FLAIR MRI.
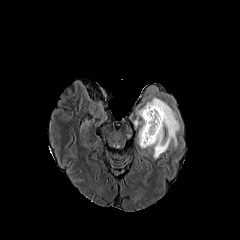
T1-weighted MR image.
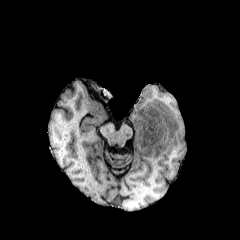
Post-contrast T1-weighted magnetic resonance.
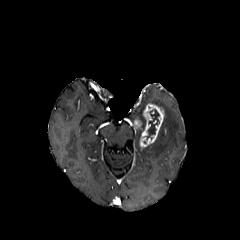
T2-weighted MR image.
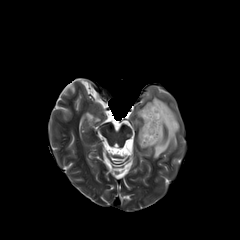
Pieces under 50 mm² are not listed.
necrotic tumor core — [x1=146, y1=109, x2=159, y2=139]
enhancing tumor — [x1=135, y1=119, x2=142, y2=127], [x1=140, y1=104, x2=164, y2=148]
peritumoral edema — [x1=137, y1=125, x2=143, y2=144], [x1=136, y1=86, x2=180, y2=158]